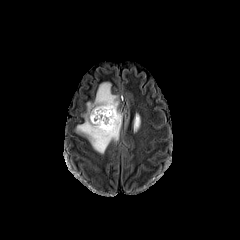
FLAIR MRI.
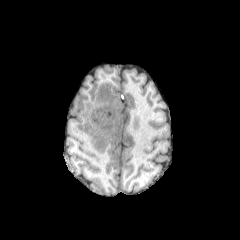
Same slice, T1-weighted MR.
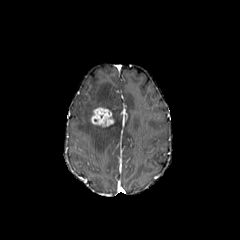
Post-contrast T1-weighted MR.
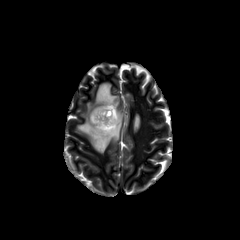
Same slice, T2-weighted magnetic resonance.
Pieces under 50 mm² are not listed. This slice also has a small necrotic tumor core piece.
enhancing tumor at bbox(91, 107, 114, 127)
peritumoral edema at bbox(133, 114, 140, 131); bbox(76, 82, 122, 153)